FLAIR magnetic resonance.
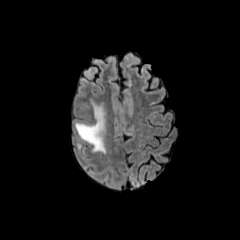
T1-weighted MR.
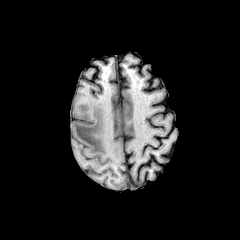
Post-contrast T1-weighted MR.
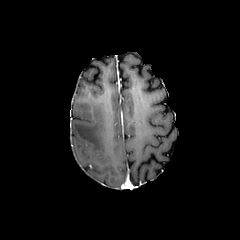
T2-weighted magnetic resonance.
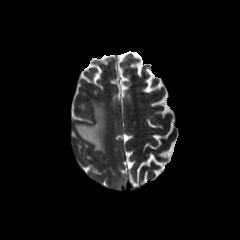
Axial slice. Head.
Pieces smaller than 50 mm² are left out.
peritumoral edema: (left=74, top=98, right=107, bottom=154)